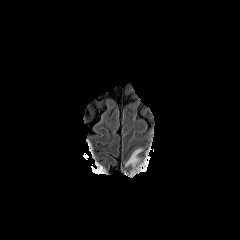
FLAIR magnetic resonance.
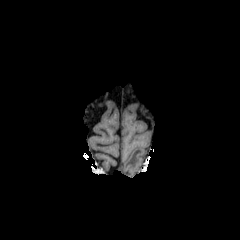
Same slice, T1-weighted MRI.
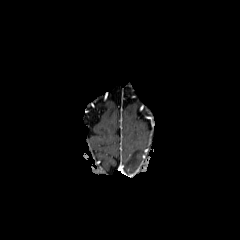
Post-contrast T1-weighted MR image of the same slice.
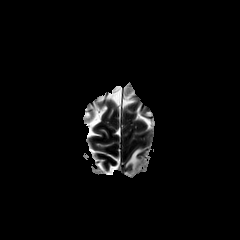
T2-weighted magnetic resonance.
{
  "peritumoral_edema": [
    "(left=124, top=147, right=143, bottom=168)"
  ]
}